Axial view, Image size 240x240, Image covers 240 mm x 240 mm, Brain
FLAIR MRI.
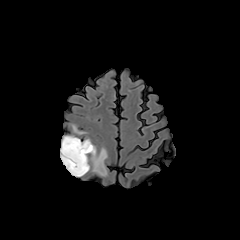
T1-weighted magnetic resonance.
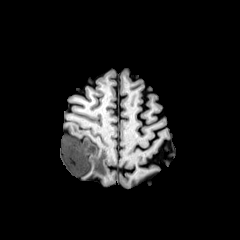
Post-contrast T1-weighted MR image.
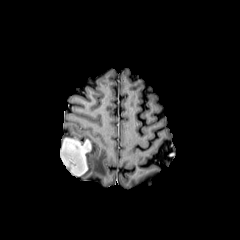
T2-weighted MR.
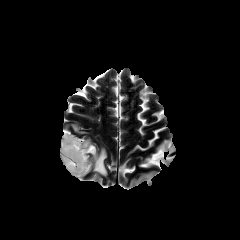
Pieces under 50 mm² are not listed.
Segmented structures:
* peritumoral edema: left=86, top=142, right=107, bottom=176; left=61, top=135, right=84, bottom=147; left=72, top=124, right=85, bottom=134
* enhancing tumor: left=60, top=137, right=91, bottom=175